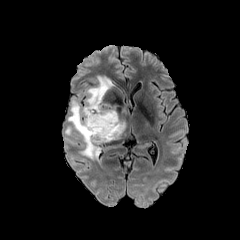
FLAIR magnetic resonance.
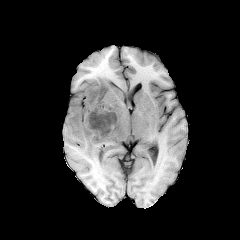
Same slice, T1-weighted magnetic resonance.
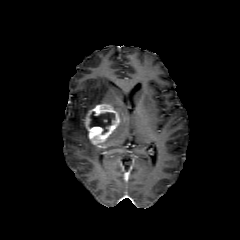
Same slice, post-contrast T1-weighted MRI.
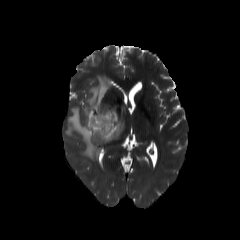
T2-weighted MR image.
Brain
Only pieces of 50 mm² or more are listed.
The largest enhancing tumor region is located at 85 103 120 147. The necrotic tumor core is located at 89 111 114 132. The 2 largest peritumoral edema regions are located at 105 120 124 142, 65 75 112 160.